Head, Axial view, Image width 240 mm, 1.00 mm slice spacing
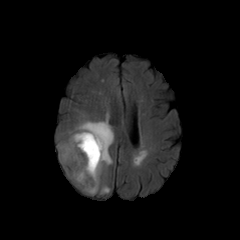
FLAIR MRI.
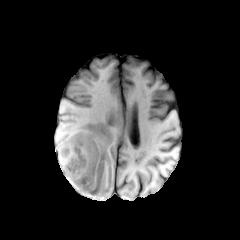
T1-weighted magnetic resonance.
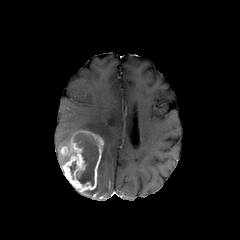
Post-contrast T1-weighted MRI.
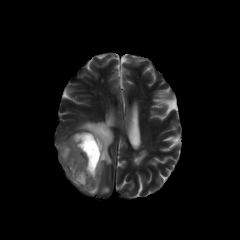
Same slice, T2-weighted MRI.
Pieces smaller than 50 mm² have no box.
The largest necrotic tumor core region is at (left=75, top=134, right=98, bottom=185). The peritumoral edema is bounded by (left=57, top=113, right=114, bottom=195). 2 enhancing tumor regions are located at (left=60, top=146, right=68, bottom=155), (left=62, top=130, right=104, bottom=192).